Axial plane, Slice 80 of 155
FLAIR MR.
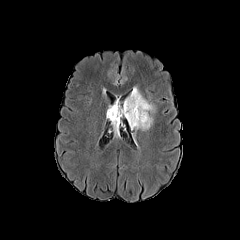
T1-weighted MR image.
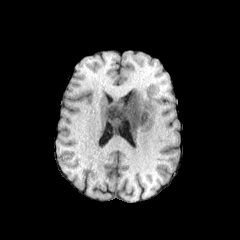
Post-contrast T1-weighted MR image.
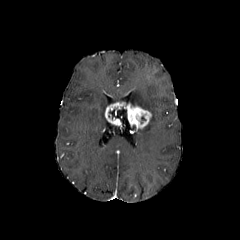
T2-weighted MRI.
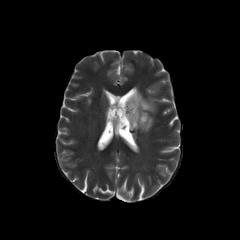
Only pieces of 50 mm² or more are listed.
Annotated regions:
- peritumoral edema: [x1=127, y1=87, x2=154, y2=112], [x1=140, y1=118, x2=152, y2=130]
- necrotic tumor core: [x1=109, y1=107, x2=127, y2=120]
- enhancing tumor: [x1=105, y1=102, x2=151, y2=130]